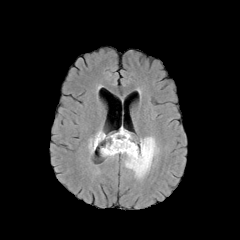
FLAIR MR image.
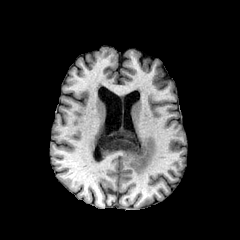
T1-weighted MR of the same slice.
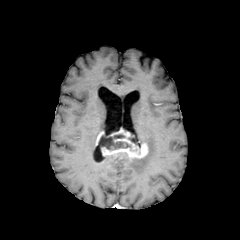
Post-contrast T1-weighted MR.
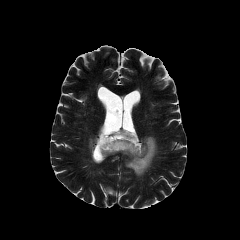
T2-weighted MRI of the same slice.
Axial slice; 240x240 px; Brain
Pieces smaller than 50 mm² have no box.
2 peritumoral edema regions appear at box=[125, 136, 158, 177]; box=[88, 130, 102, 153]. The largest necrotic tumor core region is located at box=[98, 134, 130, 149]. The enhancing tumor is located at box=[95, 128, 148, 158].